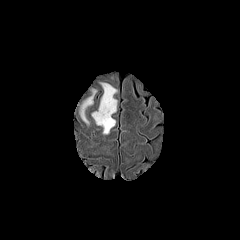
FLAIR MR.
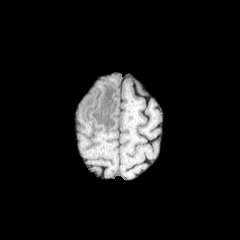
Same slice, T1-weighted MR.
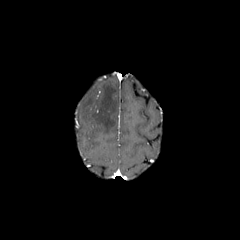
Post-contrast T1-weighted MR of the same slice.
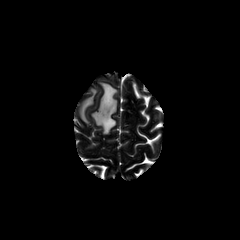
Same slice, T2-weighted MR image.
Brain
<segmentation>
  <peritumoral_edema>l=80, t=89, r=96, b=124; l=91, t=83, r=117, b=134</peritumoral_edema>
</segmentation>